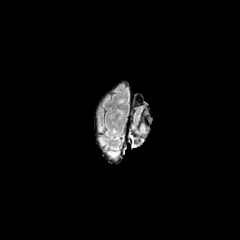
FLAIR MRI.
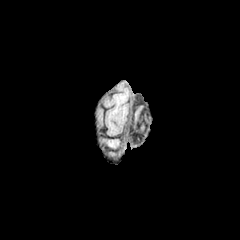
T1-weighted magnetic resonance.
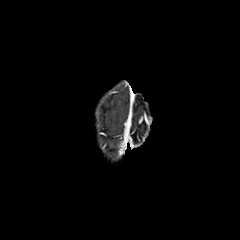
Post-contrast T1-weighted MR.
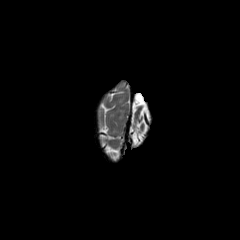
Same slice, T2-weighted MR.
Image size 240x240; Brain
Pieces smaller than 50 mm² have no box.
peritumoral edema at l=116, t=109, r=123, b=120